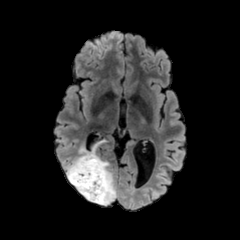
FLAIR MR image.
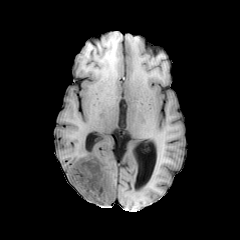
T1-weighted magnetic resonance.
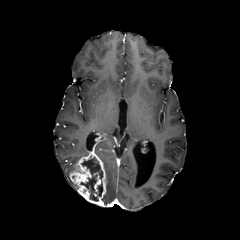
Post-contrast T1-weighted magnetic resonance.
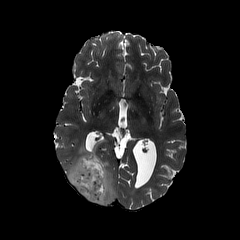
Same slice, T2-weighted MR.
240x240 px | Head
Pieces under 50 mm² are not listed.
necrotic tumor core: (x1=80, y1=157, x2=102, y2=201)
peritumoral edema: (x1=100, y1=157, x2=116, y2=205), (x1=66, y1=139, x2=105, y2=184)
enhancing tumor: (x1=69, y1=149, x2=107, y2=205)